Head, Slice 69/155
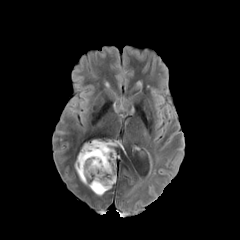
FLAIR MRI.
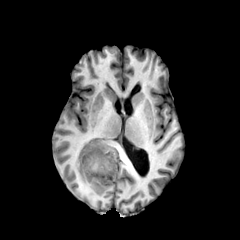
T1-weighted magnetic resonance.
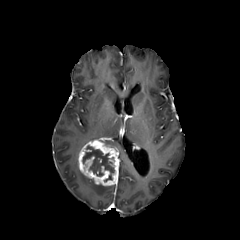
Post-contrast T1-weighted magnetic resonance of the same slice.
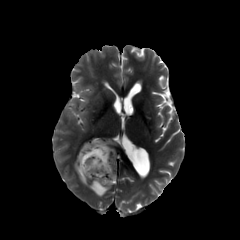
T2-weighted MR image.
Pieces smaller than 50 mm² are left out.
The largest necrotic tumor core region lies within (82, 145, 114, 176). 3 peritumoral edema regions appear at (101, 140, 115, 146), (75, 157, 87, 184), (89, 180, 111, 195). The largest enhancing tumor region is bounded by (78, 140, 117, 185).